FLAIR MR image.
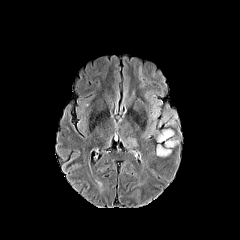
T1-weighted MR.
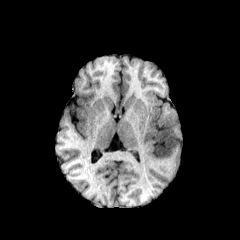
Post-contrast T1-weighted magnetic resonance.
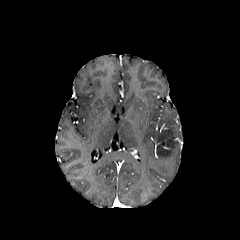
T2-weighted magnetic resonance.
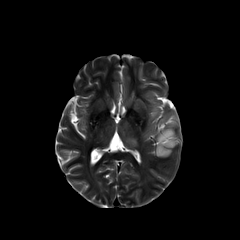
Head
<segmentation>
  <peritumoral_edema>(left=121, top=137, right=138, bottom=148), (left=165, top=140, right=178, bottom=147), (left=158, top=108, right=178, bottom=128), (left=157, top=129, right=174, bottom=141), (left=157, top=145, right=171, bottom=157)</peritumoral_edema>
</segmentation>